Brain, Slice index 103
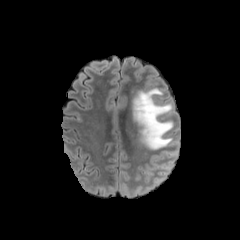
FLAIR magnetic resonance.
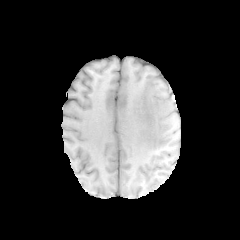
T1-weighted MR.
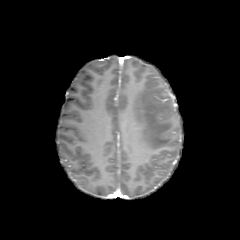
Same slice, post-contrast T1-weighted MR image.
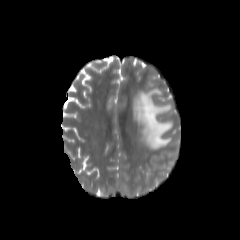
T2-weighted MRI.
<segmentation>
  <peritumoral_edema><box>132,88,173,149</box></peritumoral_edema>
</segmentation>